FLAIR magnetic resonance.
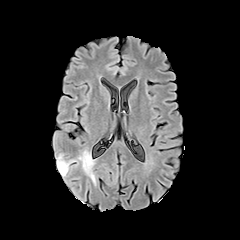
T1-weighted MR.
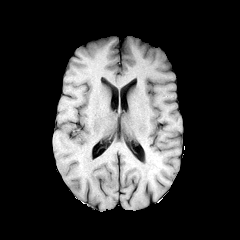
Post-contrast T1-weighted MR image.
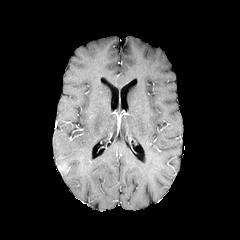
T2-weighted MR.
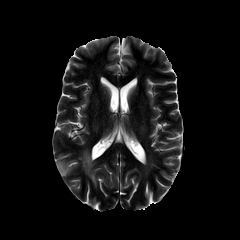
240x240, Head
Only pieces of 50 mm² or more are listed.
The enhancing tumor appears at 58,163,69,173. The 2 largest peritumoral edema regions appear at 57,156,75,172; 78,151,96,185.